Slice index 48, Axial slice, Head, 240x240 px, Image covers 240 mm x 240 mm
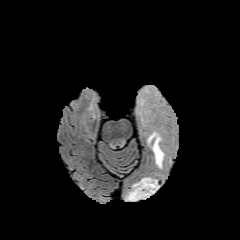
FLAIR MRI.
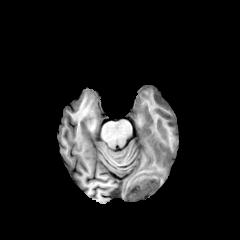
T1-weighted magnetic resonance.
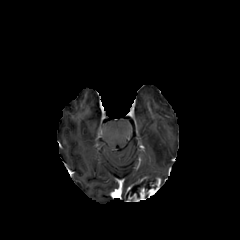
Post-contrast T1-weighted MRI.
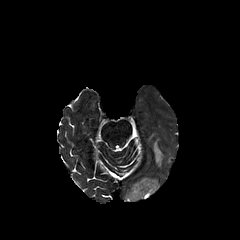
T2-weighted MRI of the same slice.
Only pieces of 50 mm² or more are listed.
peritumoral edema: <box>148,132,164,167</box>
enhancing tumor: <box>126,176,160,201</box>
necrotic tumor core: <box>128,178,155,197</box>